Brain
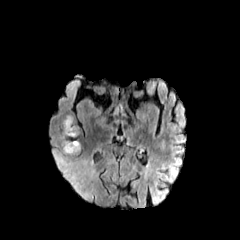
FLAIR MR image.
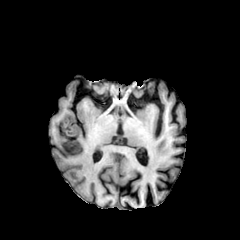
T1-weighted magnetic resonance.
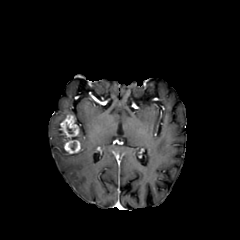
Post-contrast T1-weighted MRI.
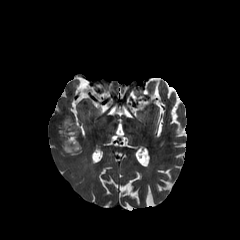
T2-weighted MR.
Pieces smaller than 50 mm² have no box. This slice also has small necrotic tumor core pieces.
The largest peritumoral edema region is bounded by left=51, top=129, right=94, bottom=201. The enhancing tumor appears at left=60, top=114, right=80, bottom=153.